Slice 99 of 155; Image width 240 mm
FLAIR magnetic resonance.
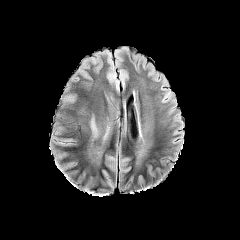
T1-weighted MR image.
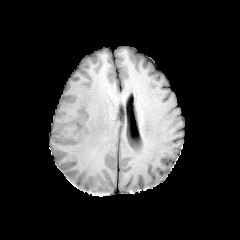
Post-contrast T1-weighted MRI.
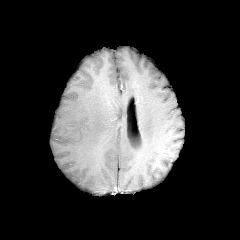
T2-weighted MR image.
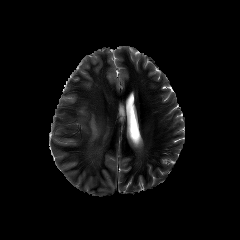
peritumoral edema at (x1=91, y1=119, x2=97, y2=137)